FLAIR MR image.
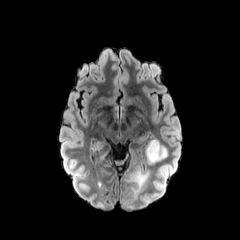
T1-weighted MR image.
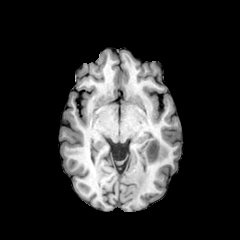
Post-contrast T1-weighted MR.
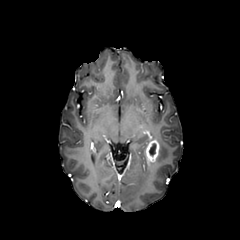
T2-weighted MR image.
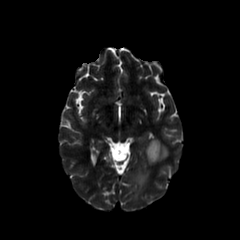
Image size 240x240 | Brain | Axial plane
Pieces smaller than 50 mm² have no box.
enhancing tumor = [145,139,159,162]
peritumoral edema = [151,138,167,161], [124,167,150,199]
necrotic tumor core = [149,143,156,155]